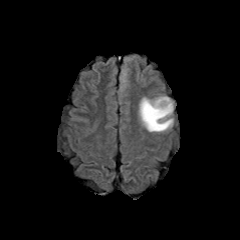
FLAIR MRI.
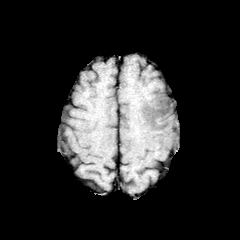
T1-weighted magnetic resonance of the same slice.
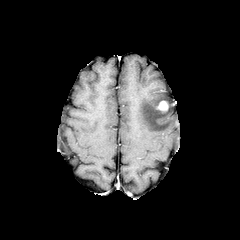
Post-contrast T1-weighted MRI.
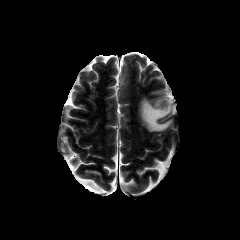
T2-weighted magnetic resonance of the same slice.
Image size 240x240; Brain; Axial plane
peritumoral_edema:
  - {"x1": 139, "y1": 96, "x2": 173, "y2": 131}
enhancing_tumor:
  - {"x1": 157, "y1": 101, "x2": 168, "y2": 111}